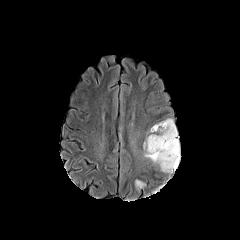
FLAIR MR.
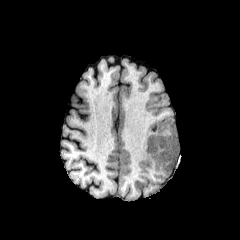
T1-weighted MR image.
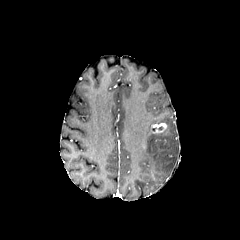
Same slice, post-contrast T1-weighted magnetic resonance.
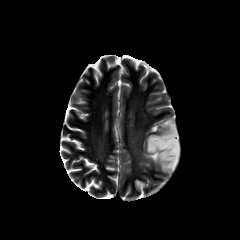
T2-weighted MR image of the same slice.
Axial view, Brain, 240x240
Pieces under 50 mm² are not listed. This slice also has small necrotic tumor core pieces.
enhancing tumor = (152,123,166,133)
peritumoral edema = (135,178,145,188), (143,118,180,173)